Slice 53 of 155; 240x240 px; Image covers 240 mm x 240 mm
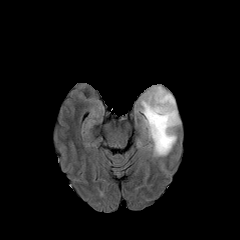
FLAIR magnetic resonance.
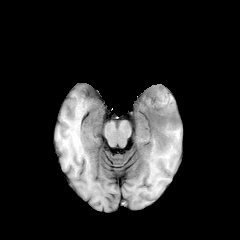
T1-weighted MR image of the same slice.
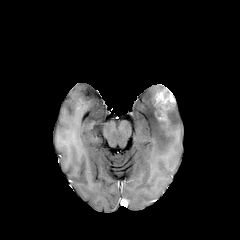
Post-contrast T1-weighted MRI.
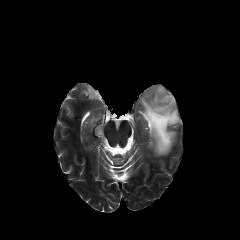
T2-weighted MR image.
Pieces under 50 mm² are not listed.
- peritumoral edema: <box>140,85,180,156</box>
- enhancing tumor: <box>154,89,174,122</box>